Slice 83/155; 240x240 px; Brain
FLAIR MR image.
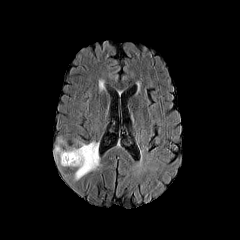
T1-weighted magnetic resonance.
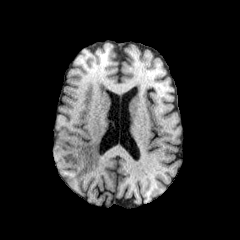
Post-contrast T1-weighted MR.
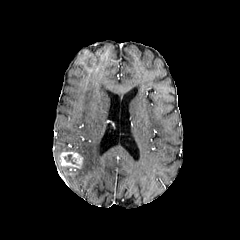
T2-weighted MRI.
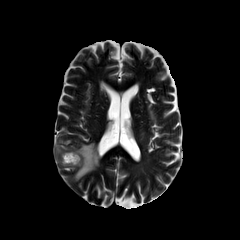
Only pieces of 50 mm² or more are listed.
enhancing tumor — bbox(60, 151, 83, 168)
peritumoral edema — bbox(55, 142, 99, 180)
necrotic tumor core — bbox(64, 154, 75, 163)